FLAIR MR image.
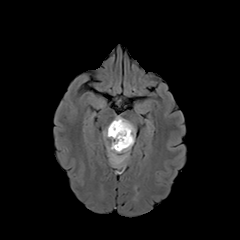
T1-weighted MR image.
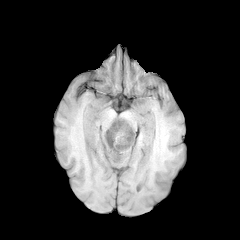
Post-contrast T1-weighted magnetic resonance.
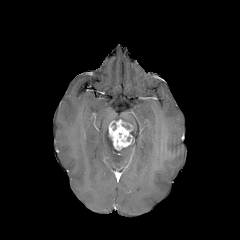
T2-weighted MRI.
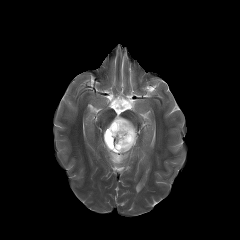
Brain
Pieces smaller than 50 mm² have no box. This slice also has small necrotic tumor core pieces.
• peritumoral edema: [114,116,135,138], [103,125,133,168]
• enhancing tumor: [107,119,134,150]